FLAIR MRI.
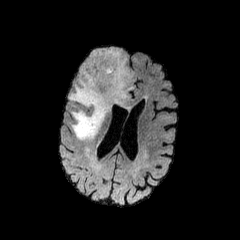
T1-weighted MRI.
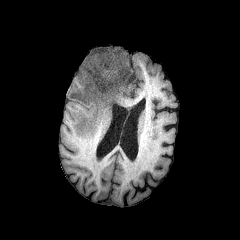
Post-contrast T1-weighted magnetic resonance.
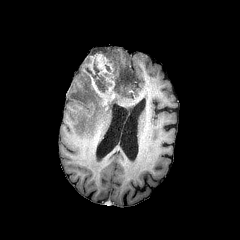
T2-weighted MR image.
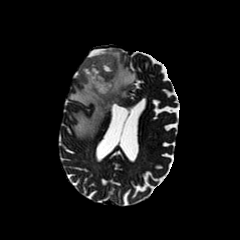
Axial slice, Brain, 240x240
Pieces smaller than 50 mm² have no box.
* necrotic tumor core: 86 60 111 92
* peritumoral edema: 69 48 135 139
* enhancing tumor: 82 51 123 108